Brain; Axial view; 240x240; Slice index 97; Image width 240 mm, 1.00 mm slice spacing
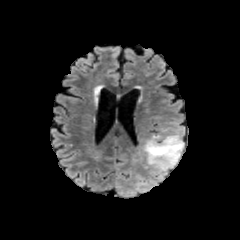
FLAIR MR image.
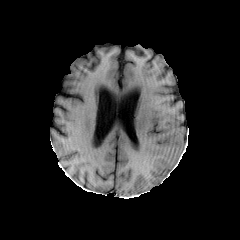
T1-weighted MR image of the same slice.
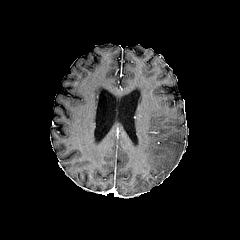
Same slice, post-contrast T1-weighted MR.
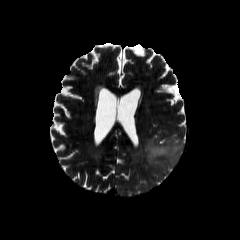
T2-weighted MRI of the same slice.
peritumoral edema: box(143, 134, 183, 173)